Head | 240x240 px | Axial view | Slice 59 of 155
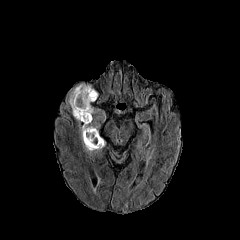
FLAIR MR.
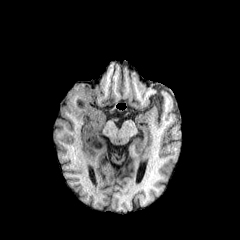
Same slice, T1-weighted MRI.
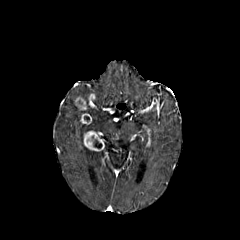
Post-contrast T1-weighted MR image.
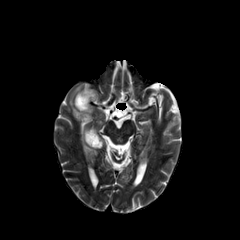
T2-weighted MR.
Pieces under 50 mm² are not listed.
<segmentation>
  <necrotic_tumor_core>(left=94, top=139, right=102, bottom=148)</necrotic_tumor_core>
  <enhancing_tumor>(left=83, top=130, right=104, bottom=151), (left=74, top=93, right=95, bottom=110), (left=80, top=113, right=91, bottom=124)</enhancing_tumor>
  <peritumoral_edema>(left=68, top=84, right=103, bottom=158)</peritumoral_edema>
</segmentation>